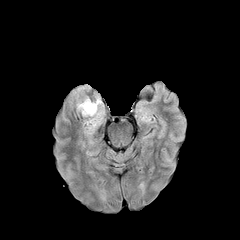
FLAIR MRI.
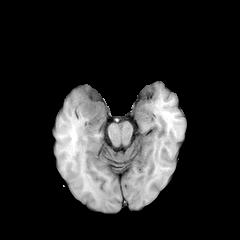
T1-weighted magnetic resonance.
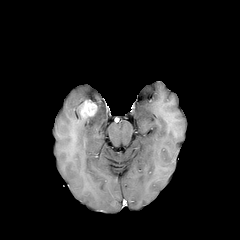
Post-contrast T1-weighted MRI.
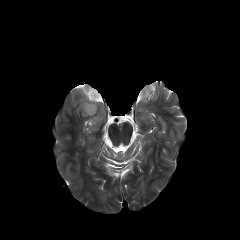
T2-weighted MR image.
Axial view; 240x240
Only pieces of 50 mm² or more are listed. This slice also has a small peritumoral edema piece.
<segmentation>
  <enhancing_tumor>left=80, top=99, right=97, bottom=117</enhancing_tumor>
</segmentation>